Image covers 240 mm x 240 mm. Brain. Slice 127 of 155. Axial view.
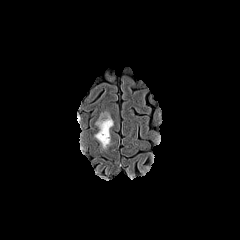
FLAIR magnetic resonance.
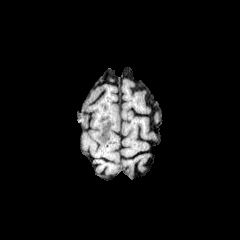
T1-weighted magnetic resonance.
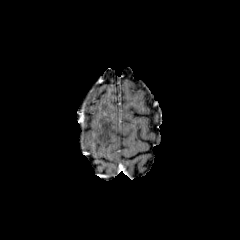
Post-contrast T1-weighted MRI.
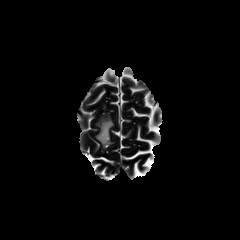
T2-weighted MR of the same slice.
Findings:
- peritumoral edema: box(95, 115, 113, 148)